240x240 | Slice index 124 | Brain | Axial view
FLAIR MRI.
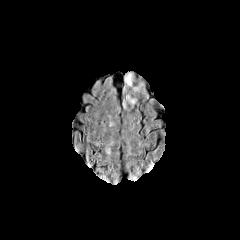
T1-weighted MR image.
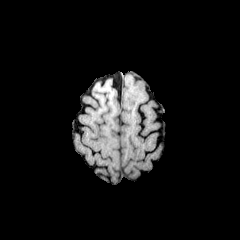
Post-contrast T1-weighted MR image.
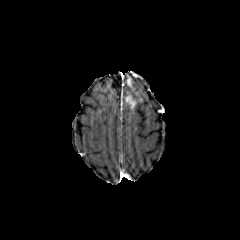
T2-weighted MR.
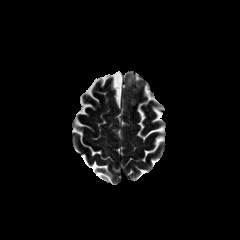
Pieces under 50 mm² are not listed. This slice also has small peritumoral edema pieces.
The largest enhancing tumor region lies within box=[126, 96, 135, 106].